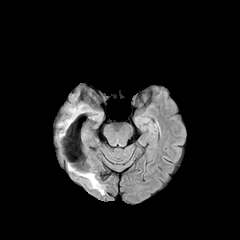
FLAIR MR.
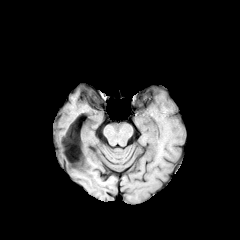
T1-weighted MR.
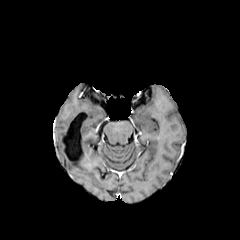
Same slice, post-contrast T1-weighted magnetic resonance.
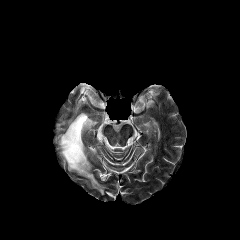
T2-weighted magnetic resonance.
Axial plane; Head
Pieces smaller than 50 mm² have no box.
peritumoral_edema:
  - box=[80, 172, 103, 194]